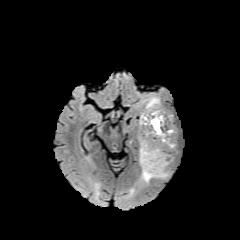
FLAIR MRI.
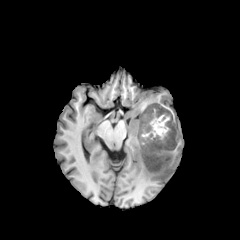
Same slice, T1-weighted magnetic resonance.
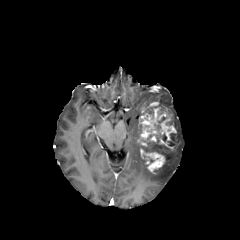
Post-contrast T1-weighted MR.
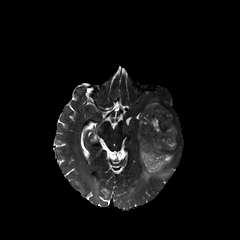
Same slice, T2-weighted MR image.
Brain. 240x240 px.
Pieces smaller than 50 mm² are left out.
The 2 largest necrotic tumor core regions appear at [143, 104, 160, 119], [141, 116, 175, 161]. The 3 largest enhancing tumor regions are bounded by [159, 134, 175, 150], [138, 107, 176, 147], [140, 148, 165, 173]. The 2 largest peritumoral edema regions are bounded by [139, 149, 172, 183], [145, 97, 159, 108].